Axial plane | Slice 82 of 155
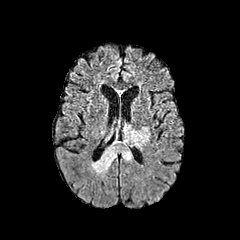
FLAIR magnetic resonance.
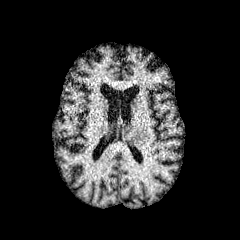
Same slice, T1-weighted MR.
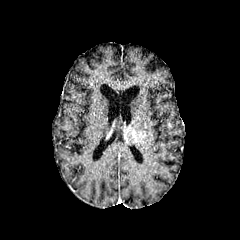
Post-contrast T1-weighted MRI.
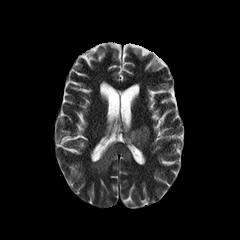
T2-weighted MR image.
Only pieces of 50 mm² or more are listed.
enhancing tumor: left=136, top=131, right=147, bottom=143 | peritumoral edema: left=122, top=150, right=131, bottom=160; left=92, top=145, right=116, bottom=172; left=123, top=124, right=150, bottom=148